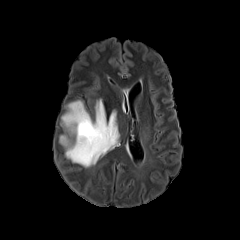
FLAIR MRI.
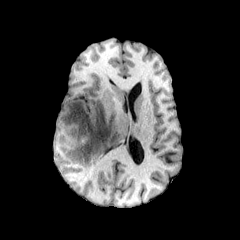
T1-weighted magnetic resonance of the same slice.
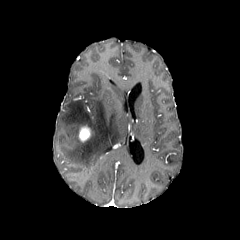
Post-contrast T1-weighted MR image.
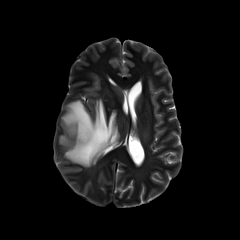
T2-weighted MR image.
The peritumoral edema is bounded by box(60, 99, 119, 167). The enhancing tumor lies within box(78, 125, 91, 142).